FLAIR MR image.
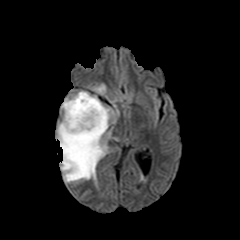
T1-weighted MRI.
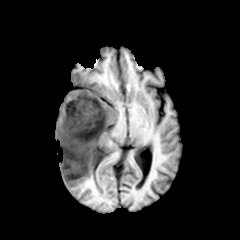
Post-contrast T1-weighted MR.
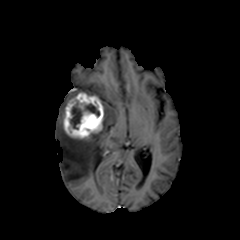
T2-weighted magnetic resonance.
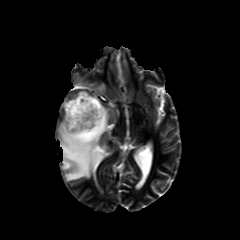
Axial view | 240x240 px
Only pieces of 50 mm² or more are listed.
peritumoral edema: [57,105,114,182], [92,84,105,94] | necrotic tumor core: [70,102,81,129], [85,104,99,116] | enhancing tumor: [63,92,103,139]